FLAIR magnetic resonance.
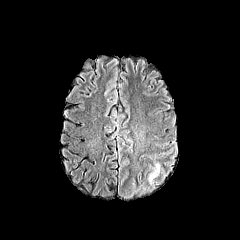
T1-weighted MRI.
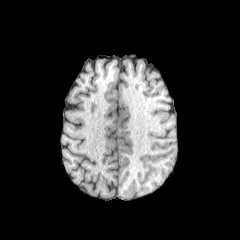
Post-contrast T1-weighted MR image.
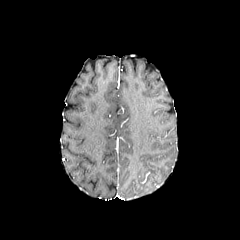
T2-weighted magnetic resonance.
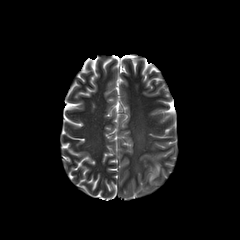
Brain
The peritumoral edema is located at x1=149, y1=164, x2=159, y2=181.